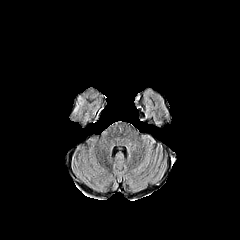
FLAIR MR image.
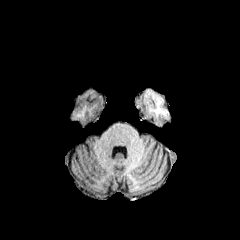
T1-weighted MR image.
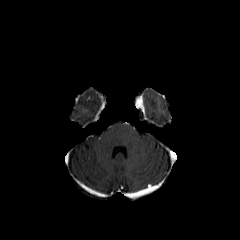
Same slice, post-contrast T1-weighted MR.
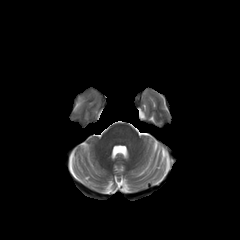
T2-weighted MR.
Brain, Axial slice
peritumoral edema — [x1=74, y1=97, x2=83, y2=112]